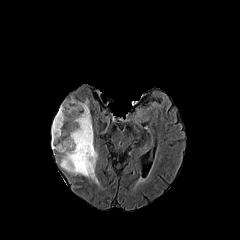
FLAIR magnetic resonance.
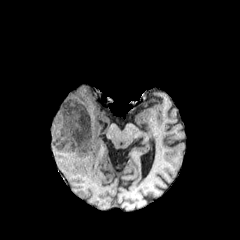
T1-weighted MR.
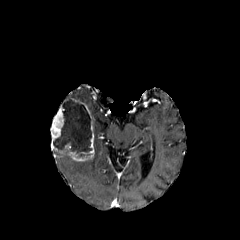
Post-contrast T1-weighted MRI of the same slice.
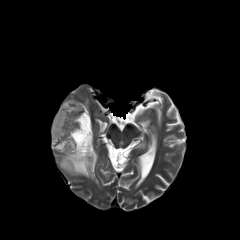
T2-weighted MR.
240x240. Head.
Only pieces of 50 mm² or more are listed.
enhancing tumor: bounding box (left=50, top=105, right=66, bottom=153), (left=65, top=121, right=94, bottom=161)
necrotic tumor core: bounding box (left=53, top=98, right=91, bottom=157)
peritumoral edema: bounding box (left=60, top=151, right=98, bottom=183)